Axial slice; Head
FLAIR MR image.
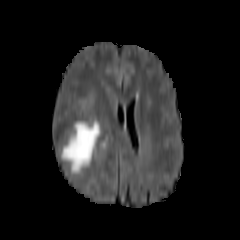
T1-weighted MRI.
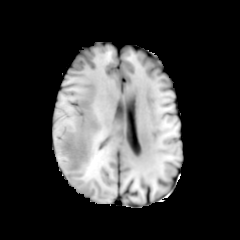
Post-contrast T1-weighted magnetic resonance.
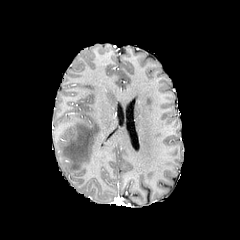
T2-weighted magnetic resonance.
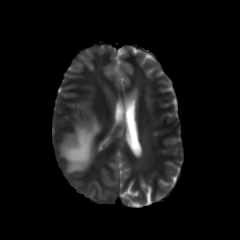
{"peritumoral_edema": ["box(61, 119, 100, 174)"]}